240x240
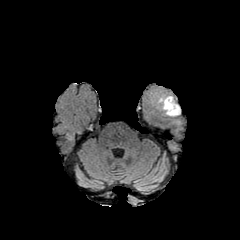
FLAIR magnetic resonance.
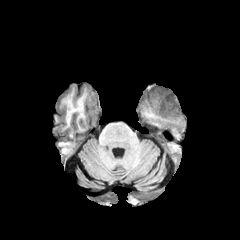
Same slice, T1-weighted MR.
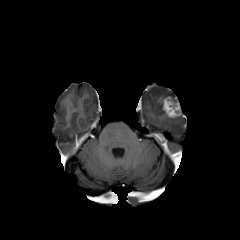
Post-contrast T1-weighted MRI of the same slice.
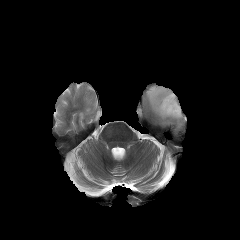
T2-weighted MRI of the same slice.
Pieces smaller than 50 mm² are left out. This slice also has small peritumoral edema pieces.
The enhancing tumor appears at 161:96:180:117.